Head | Axial slice | Slice index 73
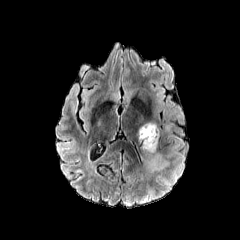
FLAIR MR.
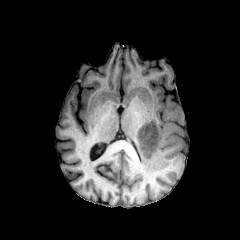
Same slice, T1-weighted MR.
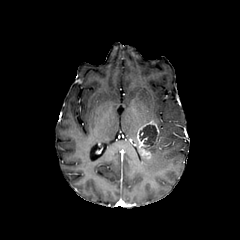
Post-contrast T1-weighted magnetic resonance.
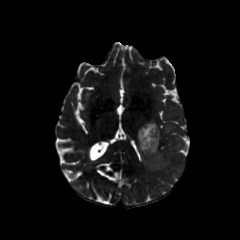
T2-weighted magnetic resonance.
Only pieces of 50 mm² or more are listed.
peritumoral edema: (148, 134, 159, 169) | enhancing tumor: (137, 120, 159, 159) | necrotic tumor core: (139, 125, 157, 148)